FLAIR MR image.
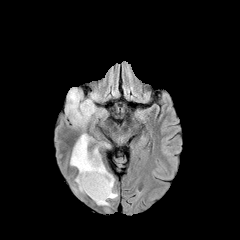
T1-weighted MR.
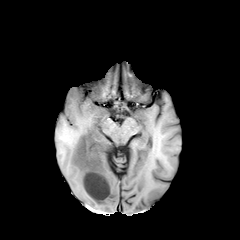
Post-contrast T1-weighted MR.
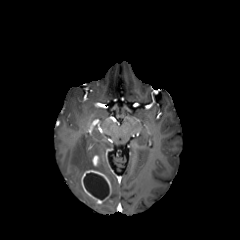
T2-weighted MRI.
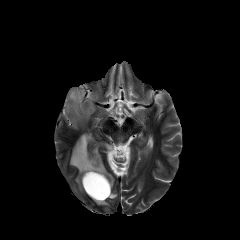
Head
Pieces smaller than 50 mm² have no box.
necrotic tumor core: x1=83 y1=173 x2=109 y2=199
peritumoral edema: x1=66 y1=87 x2=96 y2=125, x1=70 y1=133 x2=117 y2=198
enhancing tumor: x1=81 y1=169 x2=111 y2=203, x1=92 y1=155 x2=99 y2=166